FLAIR magnetic resonance.
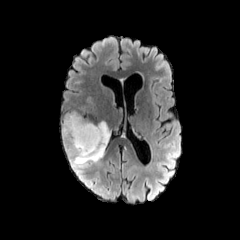
T1-weighted MR image.
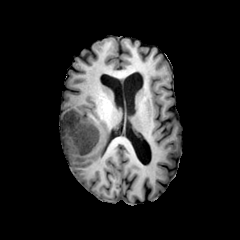
Post-contrast T1-weighted MR image.
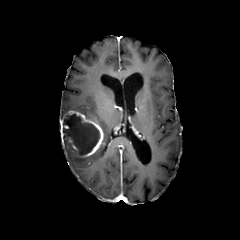
T2-weighted magnetic resonance.
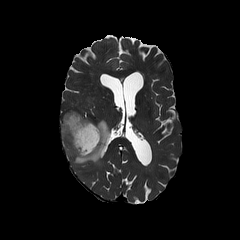
Axial plane | Image size 240x240
necrotic tumor core: bounding box rect(63, 113, 99, 155)
enhancing tumor: bounding box rect(60, 110, 103, 157)
peritumoral edema: bounding box rect(64, 120, 111, 168)